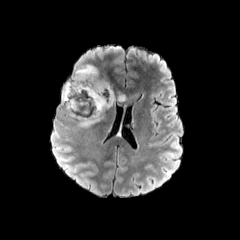
FLAIR MR image.
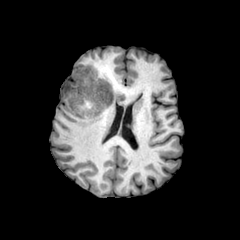
T1-weighted magnetic resonance.
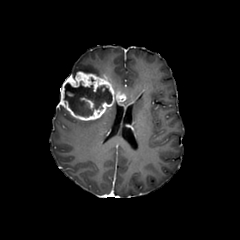
Post-contrast T1-weighted magnetic resonance of the same slice.
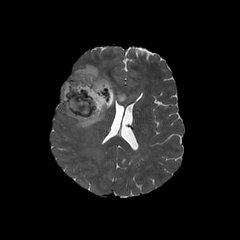
T2-weighted MR.
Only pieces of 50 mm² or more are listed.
<segmentation>
  <peritumoral_edema>region(73, 64, 99, 75); region(76, 114, 104, 128); region(125, 92, 142, 101)</peritumoral_edema>
  <necrotic_tumor_core>region(64, 82, 112, 116)</necrotic_tumor_core>
  <enhancing_tumor>region(60, 71, 126, 120)</enhancing_tumor>
</segmentation>